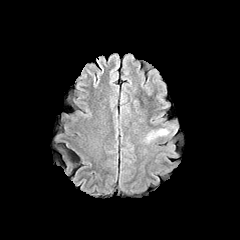
FLAIR magnetic resonance.
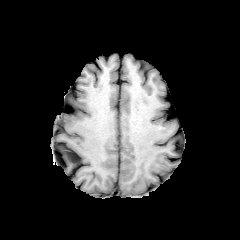
T1-weighted MR.
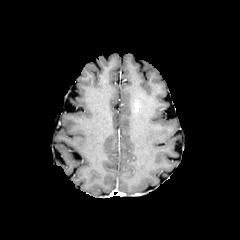
Post-contrast T1-weighted MR.
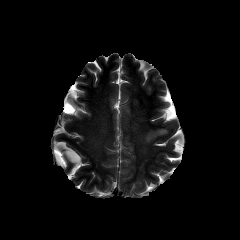
T2-weighted magnetic resonance.
Axial slice, Head
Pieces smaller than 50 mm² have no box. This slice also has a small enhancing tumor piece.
peritumoral_edema:
  - bbox=[146, 129, 166, 142]